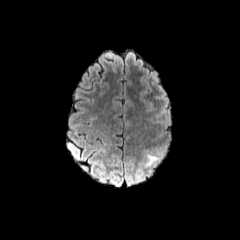
FLAIR MR.
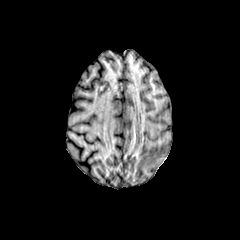
T1-weighted MR image of the same slice.
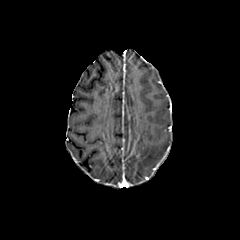
Post-contrast T1-weighted MRI.
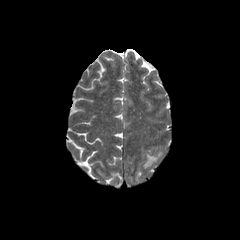
Same slice, T2-weighted MRI.
Head
<segmentation>
  <peritumoral_edema>box(144, 151, 163, 166)</peritumoral_edema>
</segmentation>